Axial slice
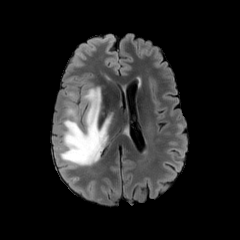
FLAIR MR.
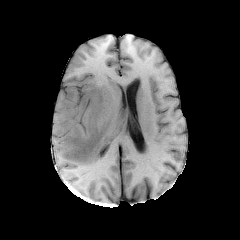
T1-weighted MRI.
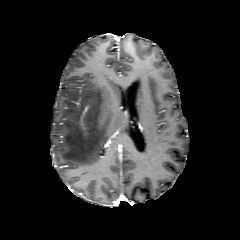
Post-contrast T1-weighted MR image.
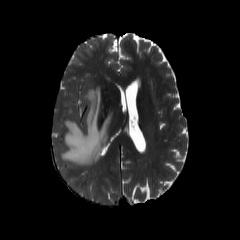
T2-weighted MR.
peritumoral_edema:
  - rect(59, 86, 112, 166)
  - rect(67, 92, 75, 100)